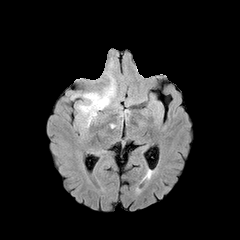
FLAIR MR image.
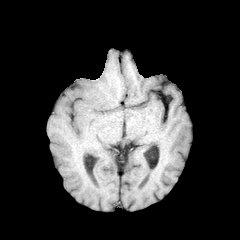
T1-weighted MRI.
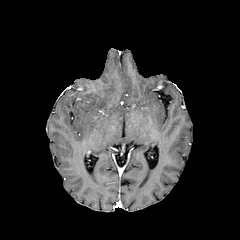
Post-contrast T1-weighted MR.
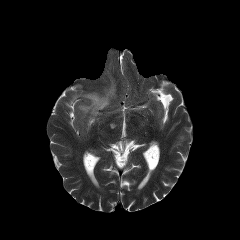
T2-weighted magnetic resonance.
Axial plane
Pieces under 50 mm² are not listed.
The largest peritumoral edema region appears at rect(76, 74, 117, 129).